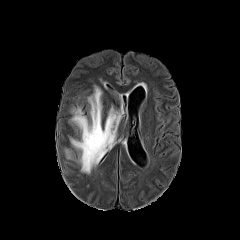
FLAIR magnetic resonance.
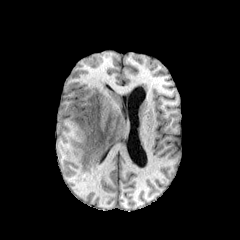
T1-weighted magnetic resonance.
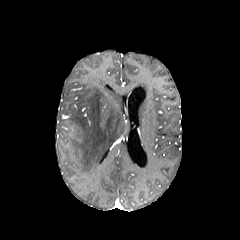
Post-contrast T1-weighted MRI.
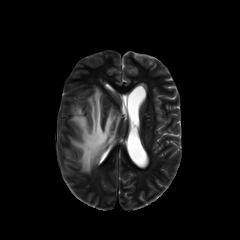
Same slice, T2-weighted MR.
Axial view
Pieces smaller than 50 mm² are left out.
{
  "peritumoral_edema": [
    "box=[70, 86, 122, 173]"
  ]
}